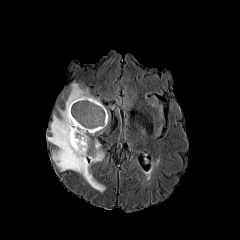
FLAIR MR.
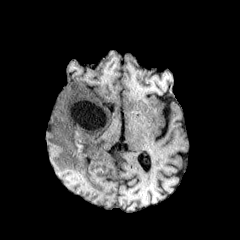
T1-weighted MR image.
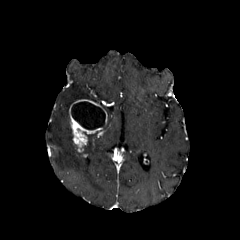
Same slice, post-contrast T1-weighted MR.
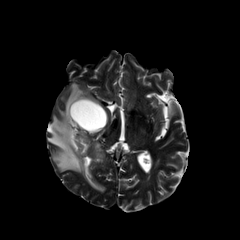
Same slice, T2-weighted MR image.
Brain. Axial view.
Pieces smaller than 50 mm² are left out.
enhancing tumor — (left=69, top=99, right=107, bottom=152)
peritumoral edema — (left=47, top=82, right=105, bottom=192)
necrotic tumor core — (left=71, top=101, right=105, bottom=129)